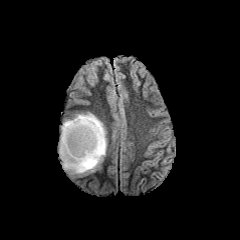
FLAIR MRI.
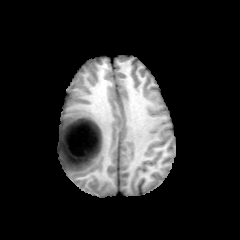
T1-weighted MRI.
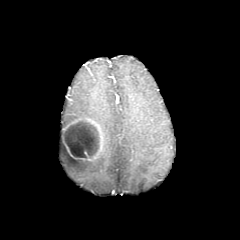
Post-contrast T1-weighted magnetic resonance.
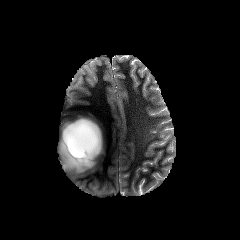
T2-weighted magnetic resonance.
Brain
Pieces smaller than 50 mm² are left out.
enhancing tumor: bounding box region(63, 119, 102, 158)
necrotic tumor core: bounding box region(65, 121, 99, 158)
peritumoral edema: bounding box region(58, 113, 106, 174)